FLAIR MR.
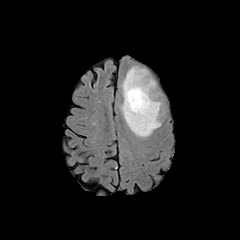
T1-weighted MR.
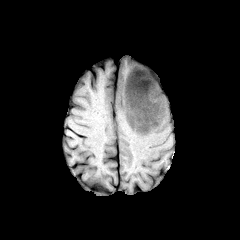
Post-contrast T1-weighted MR image.
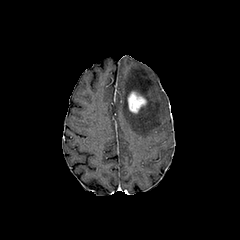
T2-weighted MR image.
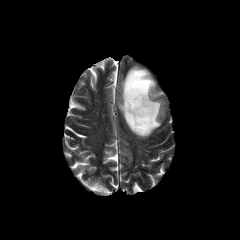
Axial slice. Brain.
<segmentation>
  <peritumoral_edema>121,67,163,137</peritumoral_edema>
  <enhancing_tumor>127,91,146,113</enhancing_tumor>
</segmentation>